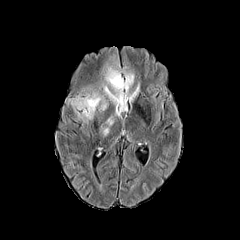
FLAIR magnetic resonance.
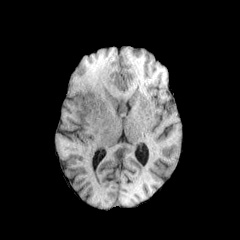
T1-weighted MRI.
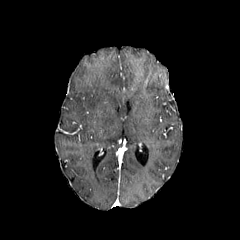
Post-contrast T1-weighted MR.
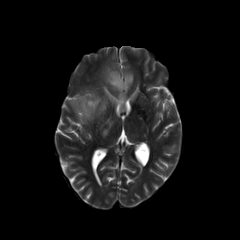
T2-weighted MRI.
240x240 px; Axial view
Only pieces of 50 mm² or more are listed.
Annotated regions:
• peritumoral edema: 103:67:140:114, 72:94:101:119